Slice 38/155
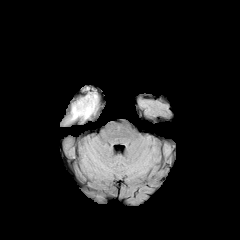
FLAIR MRI.
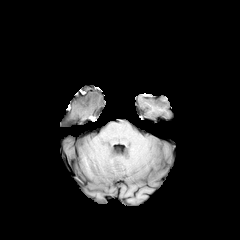
T1-weighted magnetic resonance of the same slice.
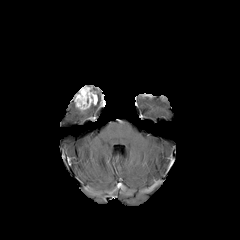
Post-contrast T1-weighted magnetic resonance.
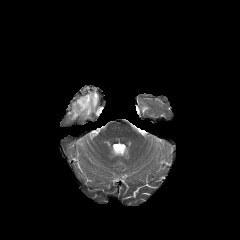
T2-weighted MR image.
Findings:
• peritumoral edema: [71, 103, 96, 119]
• enhancing tumor: [73, 86, 97, 112]